FLAIR MRI.
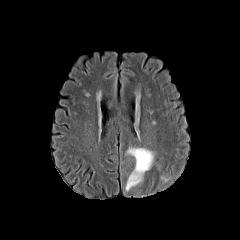
T1-weighted MR.
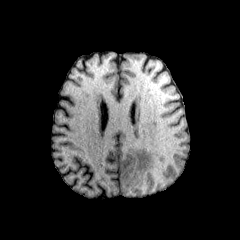
Post-contrast T1-weighted MR.
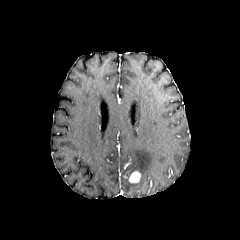
T2-weighted MR image.
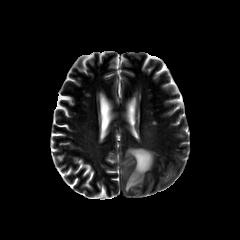
240x240 px | Brain
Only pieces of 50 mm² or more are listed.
{
  "enhancing_tumor": [
    "<box>129,171,140,182</box>"
  ],
  "peritumoral_edema": [
    "<box>125,148,153,191</box>"
  ]
}